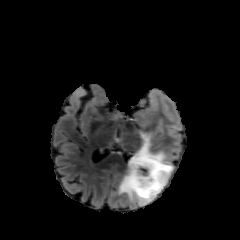
FLAIR MRI.
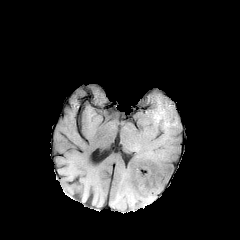
Same slice, T1-weighted MRI.
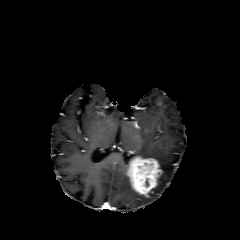
Post-contrast T1-weighted MRI.
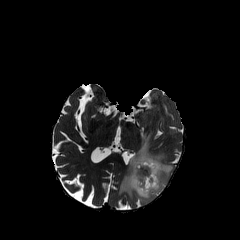
T2-weighted MRI.
Head | Axial slice
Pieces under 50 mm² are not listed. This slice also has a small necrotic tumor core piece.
peritumoral_edema:
  - bbox(118, 134, 173, 204)
enhancing_tumor:
  - bbox(127, 156, 162, 197)